Slice index 107 | Axial slice | Image width 240 mm, 1.00 mm slice spacing
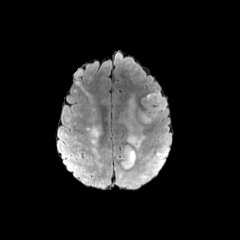
FLAIR MR image.
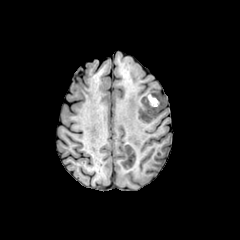
T1-weighted MR image of the same slice.
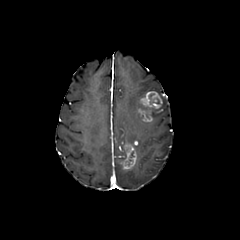
Post-contrast T1-weighted MR image of the same slice.
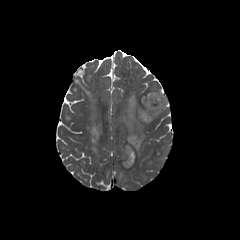
Same slice, T2-weighted MR.
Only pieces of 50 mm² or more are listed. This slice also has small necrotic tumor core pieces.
<segmentation>
  <peritumoral_edema>rect(117, 169, 137, 185); rect(127, 134, 144, 157); rect(157, 149, 167, 158); rect(129, 98, 134, 111); rect(153, 91, 166, 118)</peritumoral_edema>
  <enhancing_tumor>rect(138, 91, 162, 122); rect(120, 144, 136, 169)</enhancing_tumor>
</segmentation>